Head.
FLAIR MR.
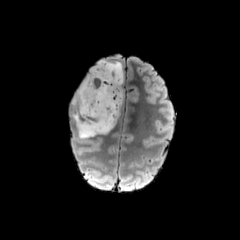
T1-weighted MRI.
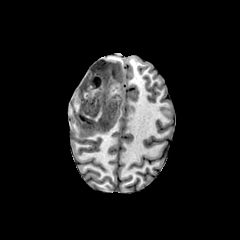
Post-contrast T1-weighted MR.
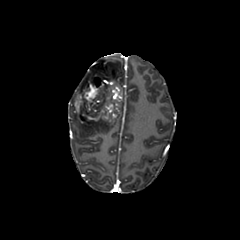
T2-weighted MR image.
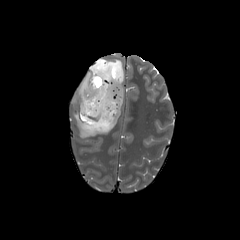
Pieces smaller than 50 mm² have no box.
The largest necrotic tumor core region lies within left=90, top=75, right=105, bottom=87. The enhancing tumor appears at left=74, top=69, right=123, bottom=124. The 2 largest peritumoral edema regions appear at left=72, top=61, right=123, bottom=104; left=72, top=109, right=120, bottom=138.